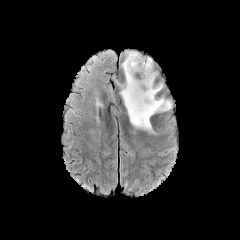
FLAIR MRI.
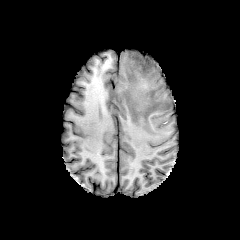
T1-weighted MR of the same slice.
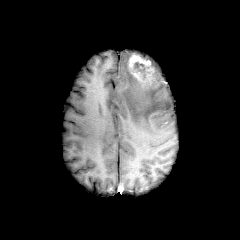
Post-contrast T1-weighted MR.
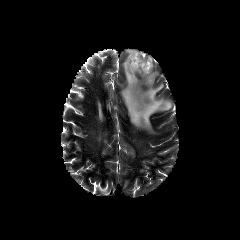
T2-weighted magnetic resonance of the same slice.
Head. Image size 240x240.
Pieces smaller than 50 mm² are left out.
Findings:
* peritumoral edema: 109 85 121 113, 113 50 172 132
* necrotic tumor core: 134 62 145 72
* enhancing tumor: 128 53 153 82